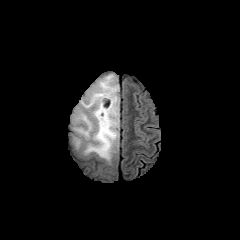
FLAIR MR.
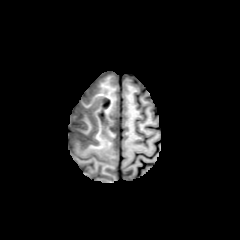
Same slice, T1-weighted MR image.
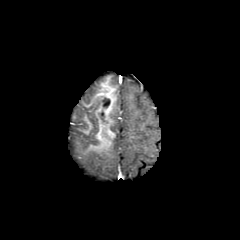
Post-contrast T1-weighted MRI of the same slice.
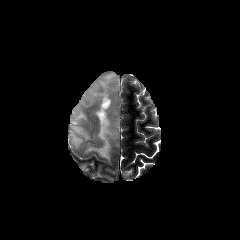
T2-weighted magnetic resonance.
240x240 px. Axial slice. Brain.
enhancing tumor: l=96, t=90, r=116, b=126
peritumoral edema: l=70, t=73, r=119, b=163
necrotic tumor core: l=98, t=110, r=108, b=123; l=102, t=97, r=110, b=108